Head. 240x240. Axial plane. Slice 60 of 155.
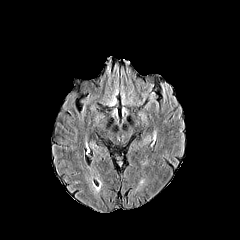
FLAIR MRI.
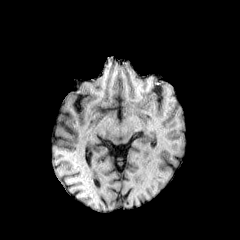
T1-weighted magnetic resonance.
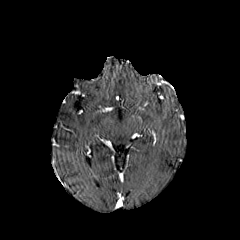
Post-contrast T1-weighted MRI of the same slice.
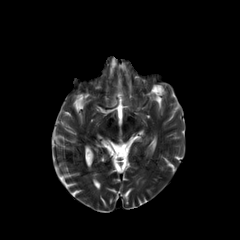
T2-weighted magnetic resonance of the same slice.
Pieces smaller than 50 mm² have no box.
Annotated regions:
• peritumoral edema: 108,89,118,106